FLAIR magnetic resonance.
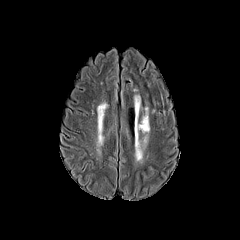
T1-weighted magnetic resonance.
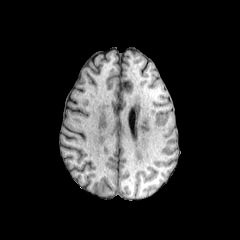
Post-contrast T1-weighted MR image.
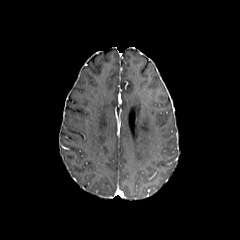
T2-weighted MRI.
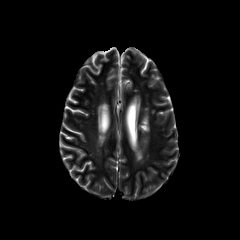
Brain
* peritumoral edema: <box>142,135,147,149</box>, <box>139,107,149,133</box>